FLAIR MR.
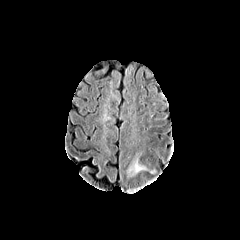
T1-weighted MR.
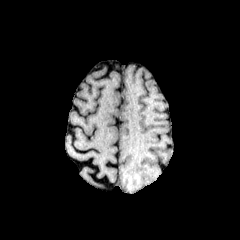
Post-contrast T1-weighted MR image.
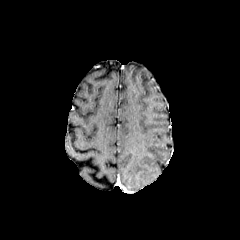
T2-weighted magnetic resonance.
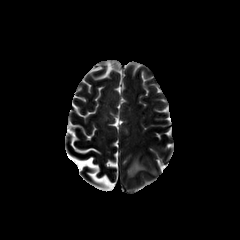
Brain
<segmentation>
  <peritumoral_edema>(left=128, top=160, right=145, bottom=174)</peritumoral_edema>
</segmentation>